Axial slice; Head
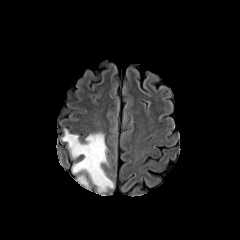
FLAIR MRI.
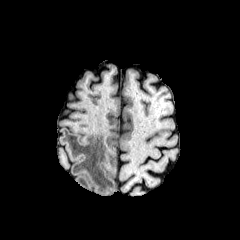
Same slice, T1-weighted MR image.
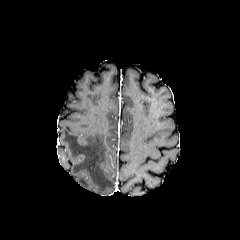
Post-contrast T1-weighted MR image.
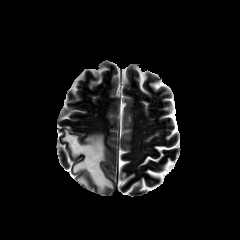
T2-weighted MRI of the same slice.
2 peritumoral edema regions appear at 77 175 88 188, 62 129 113 193.